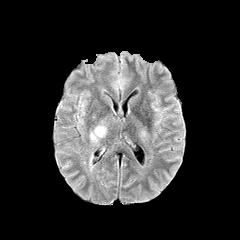
FLAIR MR image.
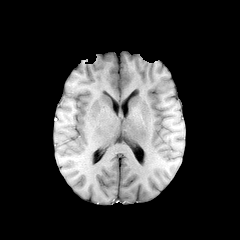
T1-weighted magnetic resonance of the same slice.
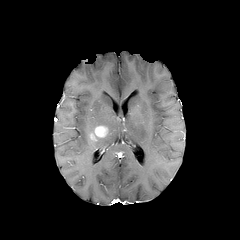
Post-contrast T1-weighted MR.
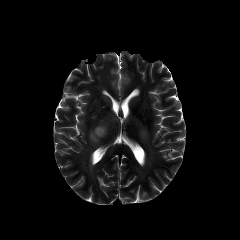
T2-weighted magnetic resonance.
Axial plane. Head.
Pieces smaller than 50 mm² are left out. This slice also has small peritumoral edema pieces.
{
  "enhancing_tumor": [
    "[x1=94, y1=126, x2=107, y2=137]"
  ]
}